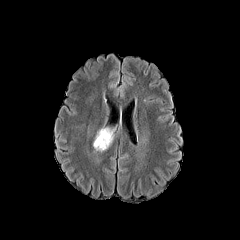
FLAIR MR image.
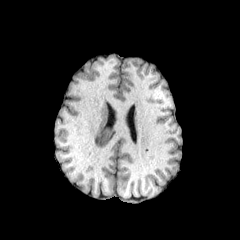
Same slice, T1-weighted magnetic resonance.
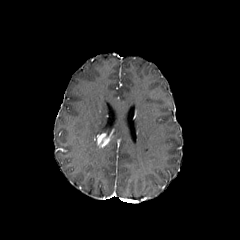
Post-contrast T1-weighted magnetic resonance.
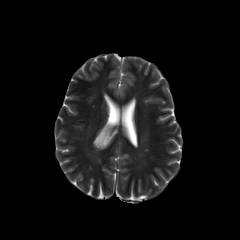
Same slice, T2-weighted MR.
Head, Image size 240x240
{"peritumoral_edema": ["left=93, top=128, right=113, bottom=150"], "enhancing_tumor": ["left=94, top=132, right=112, bottom=148"]}